Brain; Slice 76 of 155
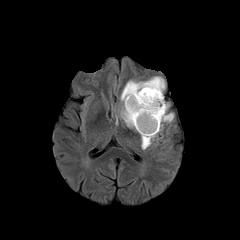
FLAIR MR image.
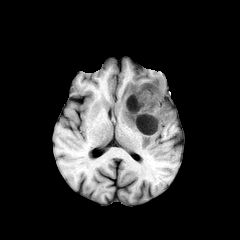
T1-weighted MR of the same slice.
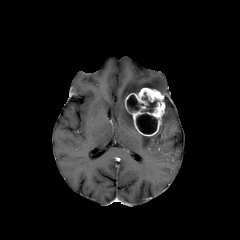
Post-contrast T1-weighted magnetic resonance.
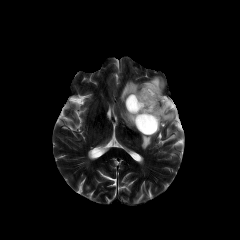
Same slice, T2-weighted magnetic resonance.
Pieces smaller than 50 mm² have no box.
necrotic tumor core at left=141, top=100, right=156, bottom=112; left=127, top=95, right=143, bottom=110; left=136, top=113, right=157, bottom=133
peritumoral edema at left=141, top=135, right=155, bottom=149; left=120, top=76, right=165, bottom=129; left=159, top=102, right=173, bottom=131
enhancing tumor at left=125, top=87, right=165, bottom=136